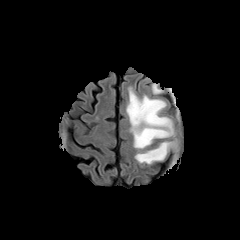
FLAIR MR.
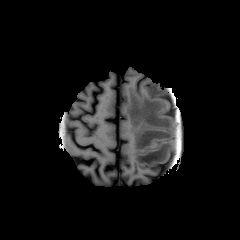
T1-weighted magnetic resonance.
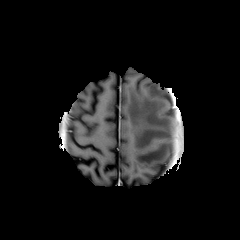
Post-contrast T1-weighted MR.
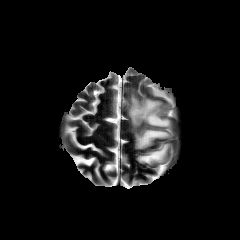
T2-weighted magnetic resonance of the same slice.
Axial view.
{"peritumoral_edema": ["x1=151 y1=84 x2=163 y2=94", "x1=126 y1=88 x2=173 y2=149", "x1=135 y1=141 x2=172 y2=164"]}